Axial plane. Slice 21 of 155. Brain.
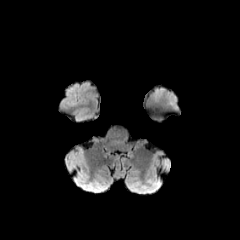
FLAIR MRI.
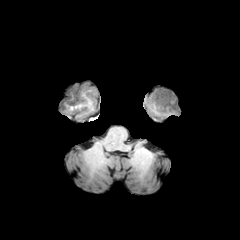
Same slice, T1-weighted MR image.
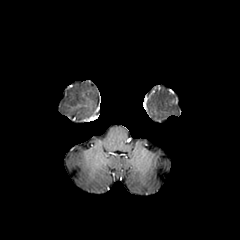
Post-contrast T1-weighted magnetic resonance of the same slice.
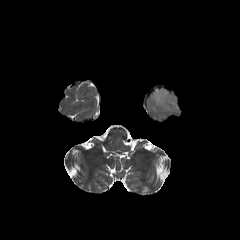
T2-weighted MR image.
peritumoral_edema:
  - <bbox>152, 88, 177, 109</bbox>